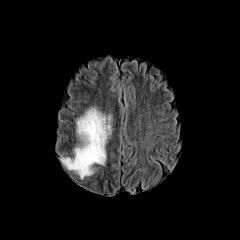
FLAIR MRI.
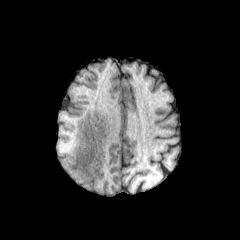
Same slice, T1-weighted magnetic resonance.
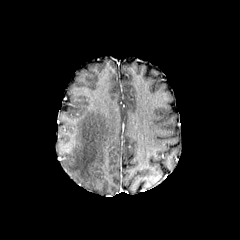
Post-contrast T1-weighted magnetic resonance of the same slice.
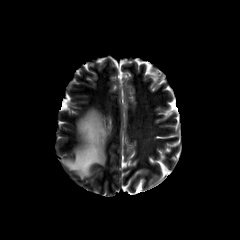
T2-weighted MR of the same slice.
Brain | Image size 240x240
The peritumoral edema appears at bbox=[60, 106, 112, 179].